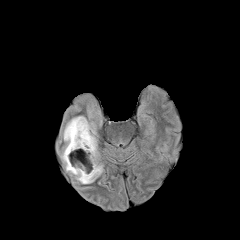
FLAIR MRI.
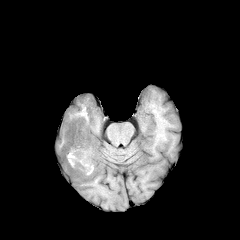
T1-weighted magnetic resonance.
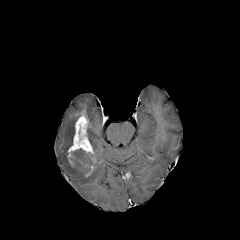
Same slice, post-contrast T1-weighted MR image.
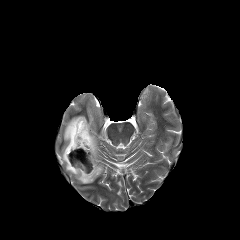
T2-weighted magnetic resonance.
Image size 240x240 | Head | Axial slice
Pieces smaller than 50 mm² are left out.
{
  "enhancing_tumor": [
    "left=67, top=116, right=94, bottom=166"
  ],
  "necrotic_tumor_core": [
    "left=71, top=149, right=91, bottom=173"
  ],
  "peritumoral_edema": [
    "left=61, top=114, right=103, bottom=183"
  ]
}